Image size 240x240; Head
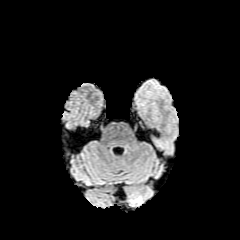
FLAIR MR image.
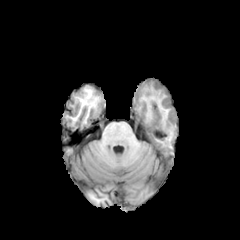
T1-weighted magnetic resonance.
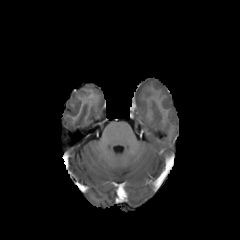
Post-contrast T1-weighted MRI.
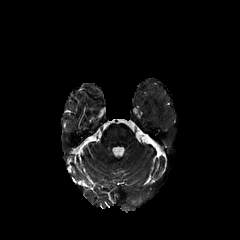
T2-weighted MR.
Annotated regions:
- peritumoral edema: [x1=130, y1=196, x2=142, y2=204]